FLAIR MRI.
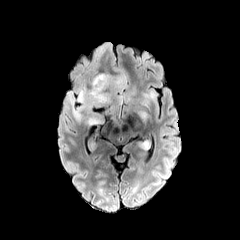
T1-weighted MR image.
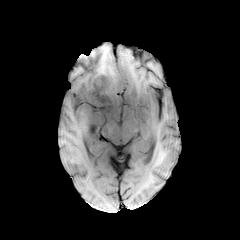
Post-contrast T1-weighted MR image.
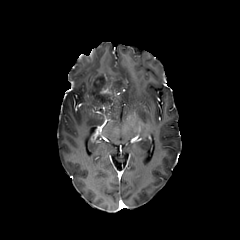
T2-weighted MRI.
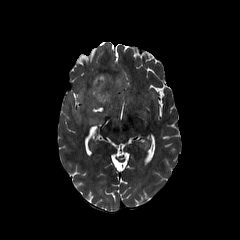
240x240 | Axial slice
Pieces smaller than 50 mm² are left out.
peritumoral edema: 74:74:155:124